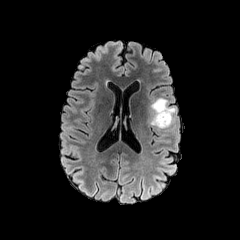
FLAIR MR.
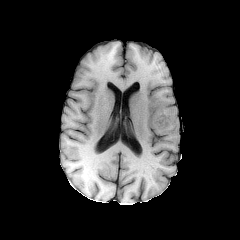
Same slice, T1-weighted MR image.
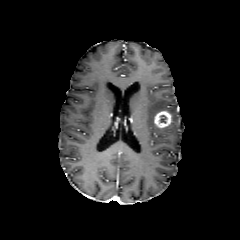
Post-contrast T1-weighted MRI.
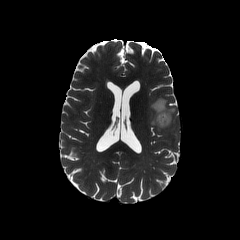
T2-weighted MR image.
240x240 px
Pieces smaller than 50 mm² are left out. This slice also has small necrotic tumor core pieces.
enhancing tumor at bbox(154, 111, 172, 127)
peritumoral edema at bbox(149, 98, 176, 129)